FLAIR MR.
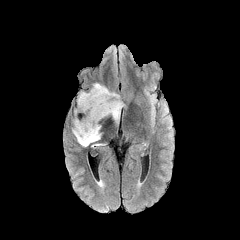
T1-weighted MR.
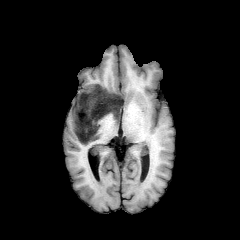
Post-contrast T1-weighted MR image.
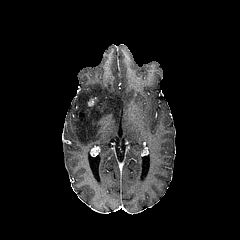
T2-weighted MRI.
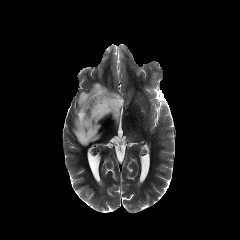
240x240
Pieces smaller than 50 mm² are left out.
The largest peritumoral edema region is bounded by <bbox>72, 83, 124, 146</bbox>. The enhancing tumor is located at <bbox>88, 97, 96, 106</bbox>.